Slice 122 of 155.
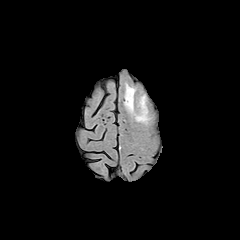
FLAIR MR image.
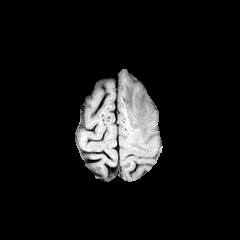
T1-weighted magnetic resonance of the same slice.
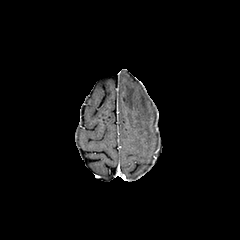
Same slice, post-contrast T1-weighted MRI.
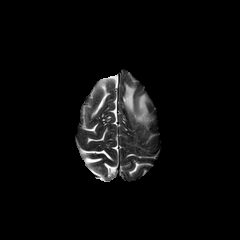
Same slice, T2-weighted magnetic resonance.
• peritumoral edema: bbox=[124, 84, 149, 122]